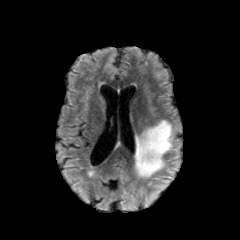
FLAIR MR.
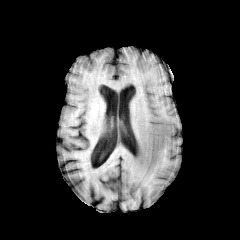
T1-weighted magnetic resonance of the same slice.
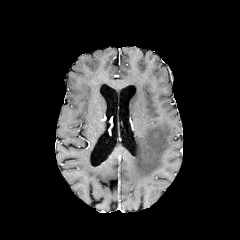
Post-contrast T1-weighted MR image.
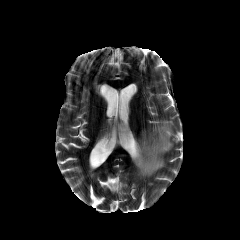
Same slice, T2-weighted MR image.
240x240
peritumoral_edema:
  - 135 120 172 177